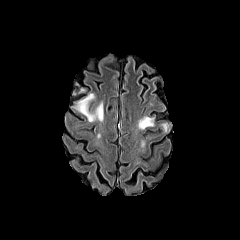
FLAIR MRI.
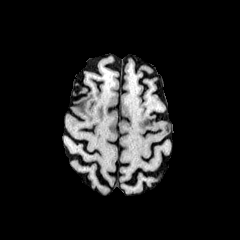
Same slice, T1-weighted MRI.
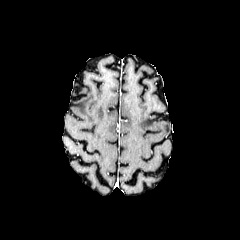
Post-contrast T1-weighted magnetic resonance.
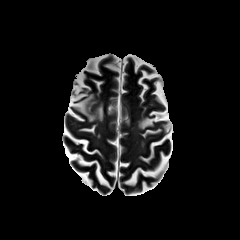
T2-weighted MR.
Axial plane
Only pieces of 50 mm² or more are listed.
The 3 largest peritumoral edema regions are located at rect(137, 116, 155, 129); rect(160, 122, 170, 132); rect(75, 93, 103, 121).